FLAIR magnetic resonance.
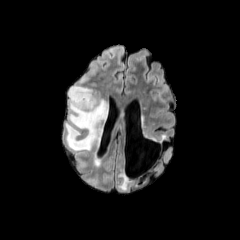
T1-weighted MR image.
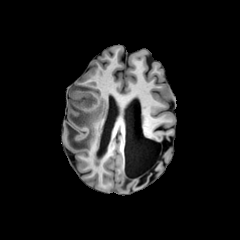
Post-contrast T1-weighted MR.
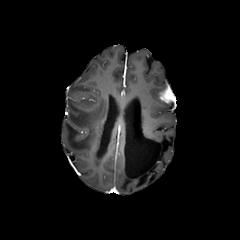
T2-weighted MR.
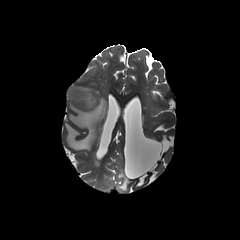
peritumoral edema: [65,85,108,150]